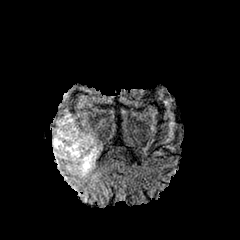
FLAIR magnetic resonance.
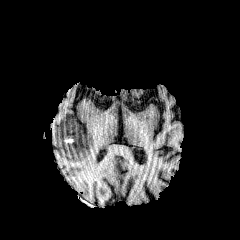
T1-weighted MR image.
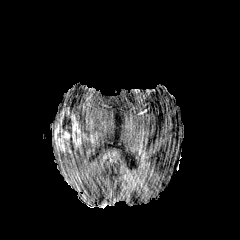
Same slice, post-contrast T1-weighted magnetic resonance.
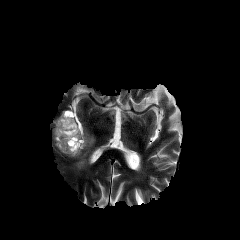
T2-weighted MR image.
240x240
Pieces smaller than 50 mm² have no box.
peritumoral edema at <bbox>52, 137, 100, 175</bbox>
enhancing tumor at <bbox>54, 111, 94, 154</bbox>
necrotic tumor core at <bbox>67, 136, 74, 150</bbox>, <bbox>62, 119, 72, 132</bbox>